FLAIR MR image.
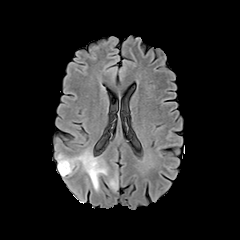
T1-weighted magnetic resonance.
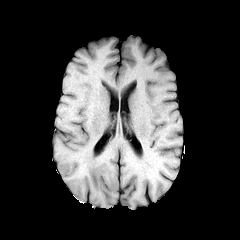
Post-contrast T1-weighted MR image.
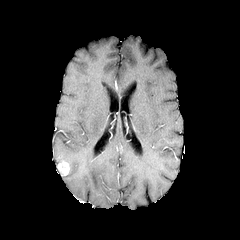
T2-weighted magnetic resonance.
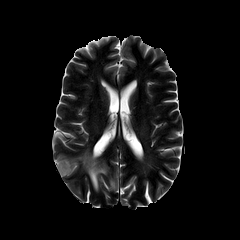
Image size 240x240 | Head
enhancing_tumor:
  - 57 161 69 175
peritumoral_edema:
  - 57 150 107 191
  - 109 179 117 190